FLAIR MR image.
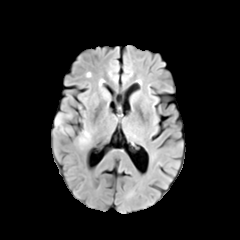
T1-weighted MR image.
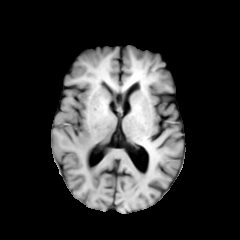
Post-contrast T1-weighted MR image.
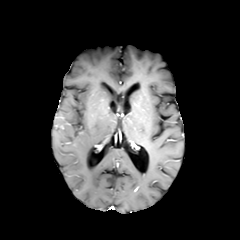
T2-weighted magnetic resonance.
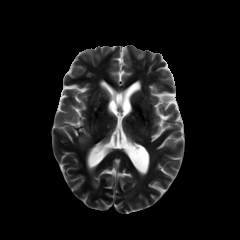
Image size 240x240, Axial plane
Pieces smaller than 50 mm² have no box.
peritumoral_edema:
  - x1=79, y1=130, x2=90, y2=144